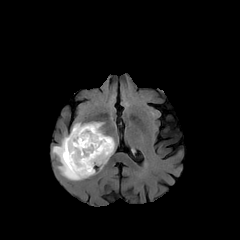
FLAIR MRI.
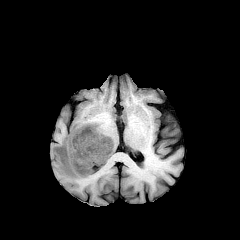
T1-weighted MR image.
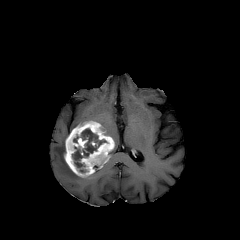
Post-contrast T1-weighted MRI.
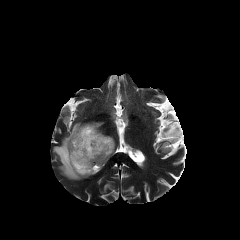
Same slice, T2-weighted MR image.
Head. 240x240 px.
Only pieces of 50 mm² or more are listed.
Findings:
• enhancing tumor: [64,121,114,177]
• necrotic tumor core: [72,129,106,167]
• peritumoral edema: [52,134,86,180]